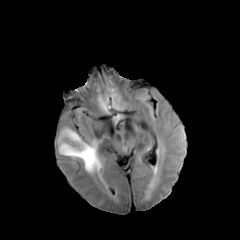
FLAIR MRI.
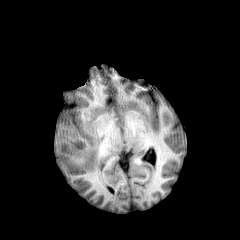
Same slice, T1-weighted MRI.
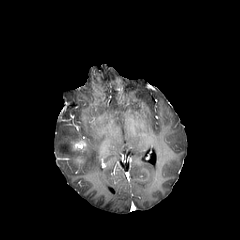
Post-contrast T1-weighted magnetic resonance.
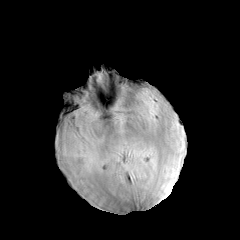
Same slice, T2-weighted MRI.
Brain
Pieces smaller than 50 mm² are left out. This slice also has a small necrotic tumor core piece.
The largest enhancing tumor region lies within bbox=[71, 140, 86, 152]. 2 peritumoral edema regions are bounded by bbox=[58, 129, 81, 141]; bbox=[59, 140, 101, 173].